Axial slice. Image size 240x240.
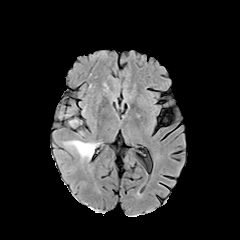
FLAIR MR image.
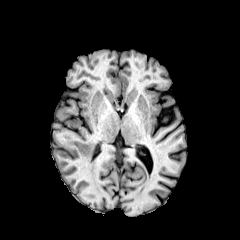
T1-weighted MR image.
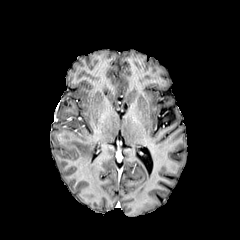
Post-contrast T1-weighted MRI.
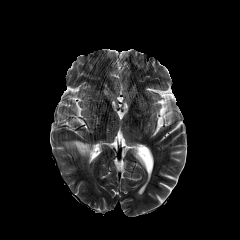
Same slice, T2-weighted MR.
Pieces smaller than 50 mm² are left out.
{"peritumoral_edema": ["[64,140,97,159]"]}